FLAIR MR.
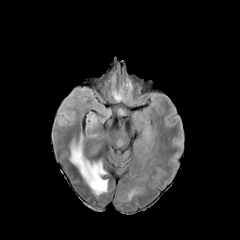
T1-weighted MR.
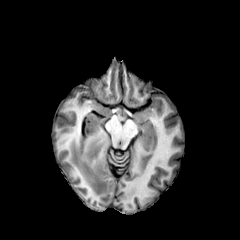
Post-contrast T1-weighted MR image.
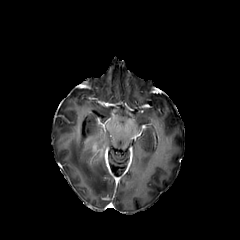
T2-weighted MR image.
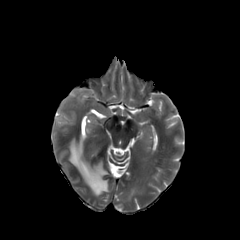
enhancing_tumor:
  - (90,143,101,158)
peritumoral_edema:
  - (70,137,107,195)